FLAIR magnetic resonance.
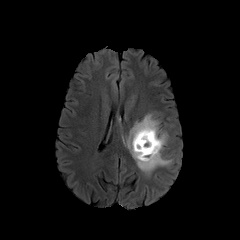
T1-weighted MRI.
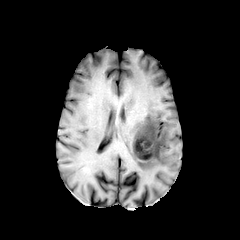
Post-contrast T1-weighted MR.
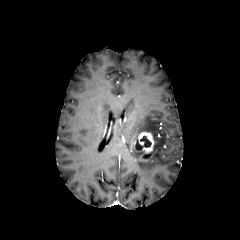
T2-weighted magnetic resonance.
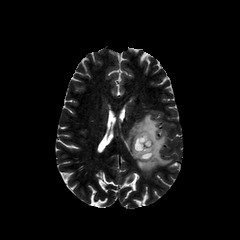
Axial plane; 240x240 px
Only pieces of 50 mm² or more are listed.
<segmentation>
  <peritumoral_edema>[127, 114, 172, 174]</peritumoral_edema>
  <enhancing_tumor>[131, 135, 135, 152], [136, 132, 155, 160]</enhancing_tumor>
  <necrotic_tumor_core>[135, 136, 151, 150]</necrotic_tumor_core>
</segmentation>